Brain, Image size 240x240
FLAIR MRI.
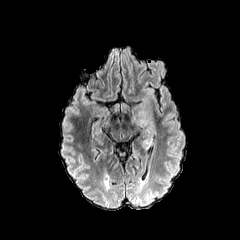
T1-weighted MRI.
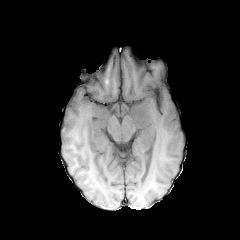
Post-contrast T1-weighted magnetic resonance.
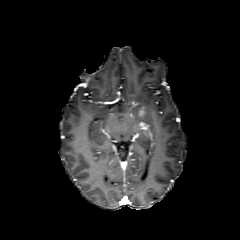
T2-weighted MRI.
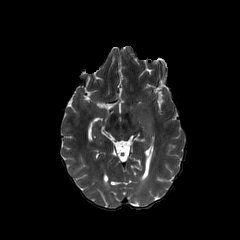
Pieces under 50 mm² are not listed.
enhancing tumor: (x1=138, y1=107, x2=145, y2=116) | peritumoral edema: (x1=137, y1=104, x2=154, y2=128)